Slice 104/155.
FLAIR MR.
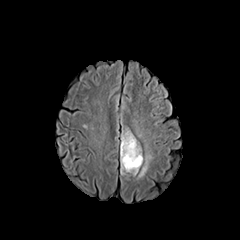
T1-weighted magnetic resonance.
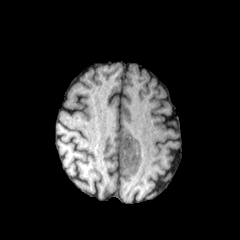
Post-contrast T1-weighted magnetic resonance.
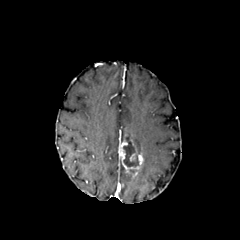
T2-weighted magnetic resonance.
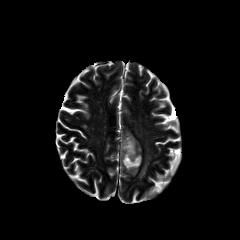
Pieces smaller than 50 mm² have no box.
peritumoral edema — <bbox>138, 154, 151, 177</bbox>, <bbox>121, 128, 141, 153</bbox>
necrotic tumor core — <bbox>123, 137, 138, 166</bbox>
enhancing tumor — <bbox>119, 134, 142, 176</bbox>